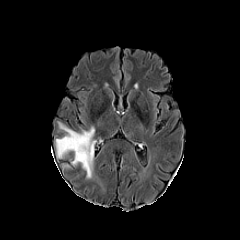
FLAIR magnetic resonance.
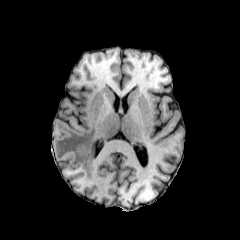
T1-weighted MRI of the same slice.
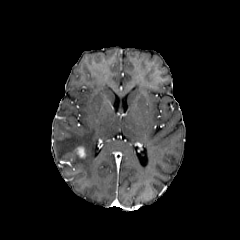
Same slice, post-contrast T1-weighted MRI.
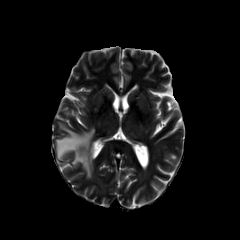
T2-weighted MRI of the same slice.
Head
peritumoral edema: region(55, 122, 95, 178) | enhancing tumor: region(76, 146, 85, 157)